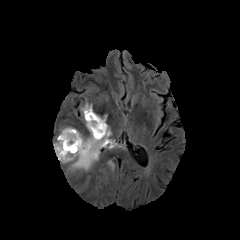
FLAIR MR.
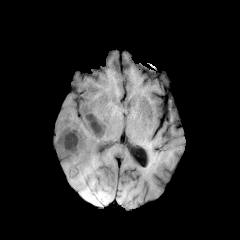
T1-weighted magnetic resonance.
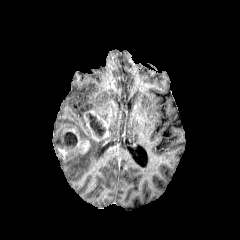
Same slice, post-contrast T1-weighted MRI.
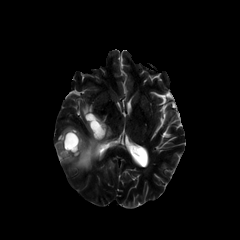
T2-weighted magnetic resonance.
Axial view. Image size 240x240.
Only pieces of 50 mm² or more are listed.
The 2 largest peritumoral edema regions are bounded by [81, 103, 92, 115], [58, 130, 114, 171]. The 2 largest enhancing tumor regions are bounded by [56, 128, 89, 160], [84, 110, 108, 141]. 3 necrotic tumor core regions are located at [103, 141, 116, 147], [88, 114, 104, 133], [64, 132, 77, 145].